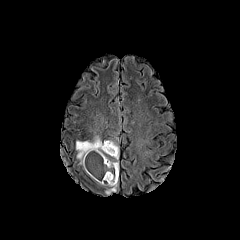
FLAIR MRI.
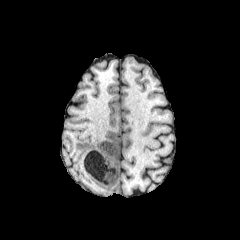
T1-weighted MR of the same slice.
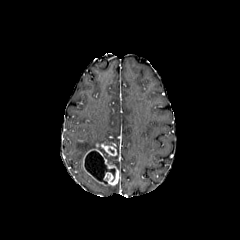
Post-contrast T1-weighted MRI of the same slice.
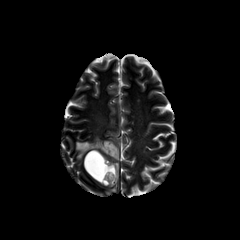
T2-weighted MR.
Brain, Axial view, 240x240 px
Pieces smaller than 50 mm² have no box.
{"enhancing_tumor": ["[x1=83, y1=143, x2=119, y2=185]"], "necrotic_tumor_core": ["[x1=85, y1=151, x2=115, y2=183]"], "peritumoral_edema": ["[x1=76, y1=136, x2=101, y2=164]", "[x1=105, y1=184, x2=117, y2=194]"]}